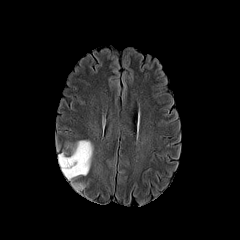
FLAIR MR image.
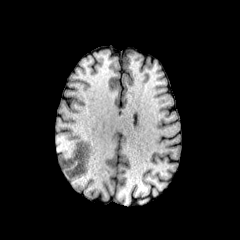
T1-weighted MR.
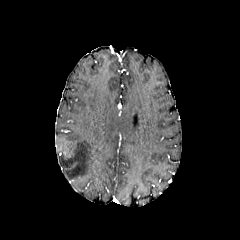
Post-contrast T1-weighted magnetic resonance.
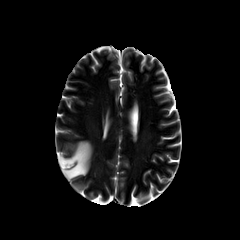
T2-weighted MR.
- peritumoral edema: bbox(58, 140, 92, 179); bbox(73, 182, 84, 190)